Image width 240 mm; Axial slice
FLAIR MR image.
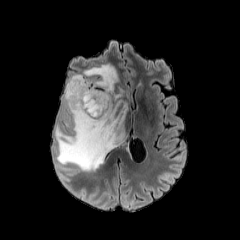
T1-weighted MRI.
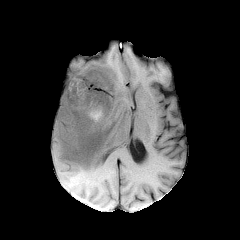
Post-contrast T1-weighted MR image.
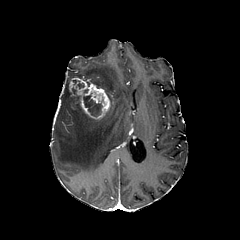
T2-weighted MR image.
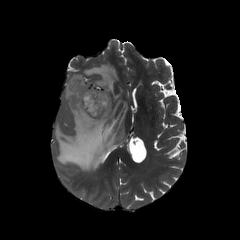
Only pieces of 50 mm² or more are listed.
peritumoral edema = box=[55, 63, 127, 171]
necrotic tumor core = box=[83, 93, 101, 116]
enhancing tumor = box=[69, 76, 111, 119]